FLAIR MR.
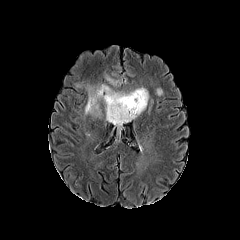
T1-weighted magnetic resonance.
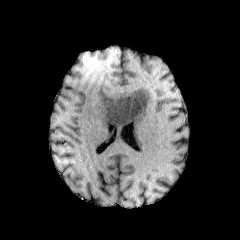
Post-contrast T1-weighted MR.
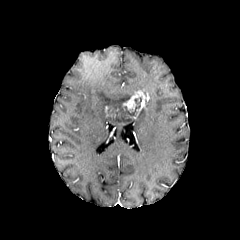
T2-weighted MR.
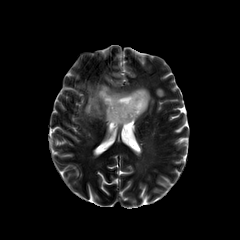
Head.
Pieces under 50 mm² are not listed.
Findings:
- necrotic tumor core: 105, 97, 141, 123
- peritumoral edema: 106, 118, 133, 131; 85, 84, 133, 116
- enhancing tumor: 123, 89, 148, 115